FLAIR MR.
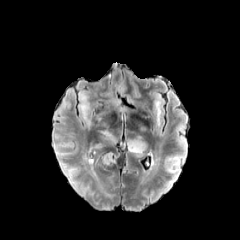
T1-weighted MR.
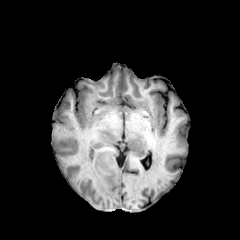
Post-contrast T1-weighted MR image.
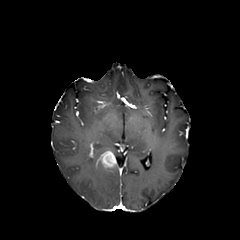
T2-weighted MR image.
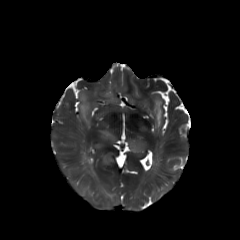
240x240, Axial view
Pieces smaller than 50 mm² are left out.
Findings:
• enhancing tumor: left=98, top=151, right=116, bottom=168
• peritumoral edema: left=155, top=101, right=160, bottom=117; left=129, top=140, right=144, bottom=153; left=85, top=157, right=96, bottom=177; left=79, top=93, right=90, bottom=127; left=101, top=131, right=113, bottom=140